FLAIR magnetic resonance.
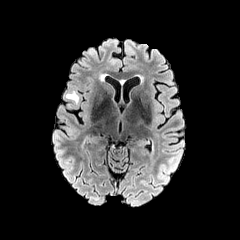
T1-weighted magnetic resonance.
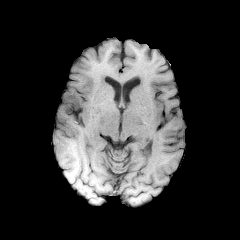
Post-contrast T1-weighted MRI.
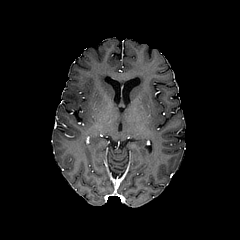
T2-weighted MR image.
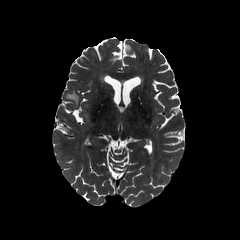
Axial slice; Head
peritumoral edema: bounding box box=[65, 90, 79, 105]